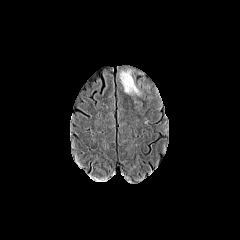
FLAIR MR image.
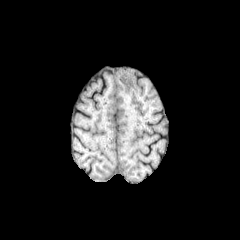
Same slice, T1-weighted MR.
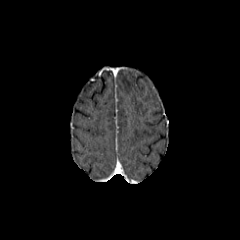
Same slice, post-contrast T1-weighted magnetic resonance.
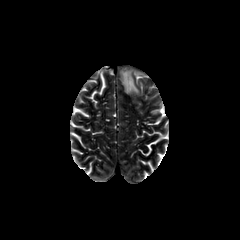
T2-weighted MR.
240x240 px
peritumoral edema: 120,70,139,94